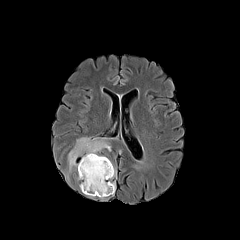
FLAIR MR.
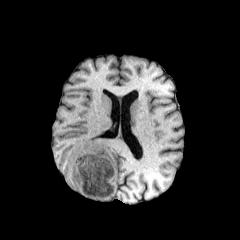
T1-weighted MRI.
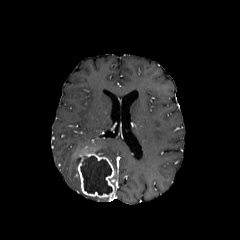
Post-contrast T1-weighted MRI.
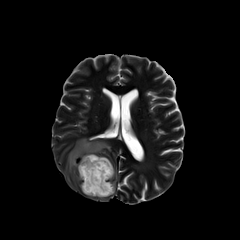
T2-weighted MRI.
Axial plane, Image size 240x240
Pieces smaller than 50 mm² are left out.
enhancing tumor = {"x1": 77, "y1": 152, "x2": 115, "y2": 198}
peritumoral edema = {"x1": 68, "y1": 136, "x2": 111, "y2": 171}
necrotic tumor core = {"x1": 80, "y1": 156, "x2": 112, "y2": 194}